FLAIR MR.
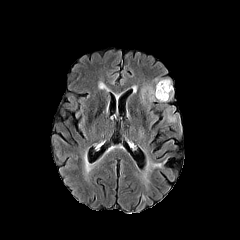
T1-weighted magnetic resonance.
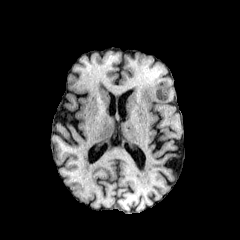
Post-contrast T1-weighted MRI.
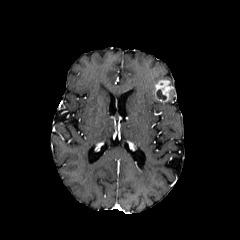
T2-weighted MR image.
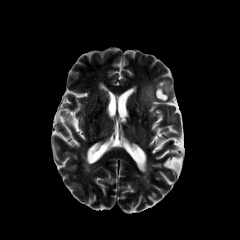
Head; Axial plane
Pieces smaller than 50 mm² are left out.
peritumoral_edema:
  - 166,109,177,121
  - 141,85,156,101
necrotic_tumor_core:
  - 156,89,166,100
enhancing_tumor:
  - 154,80,173,102